Head, Axial plane
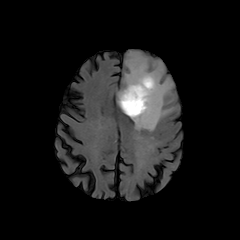
FLAIR MR.
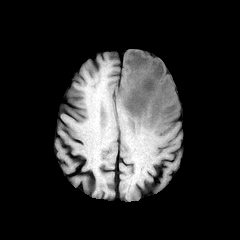
Same slice, T1-weighted magnetic resonance.
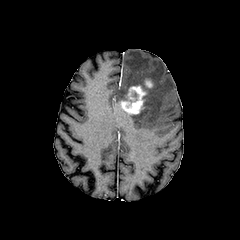
Post-contrast T1-weighted MR.
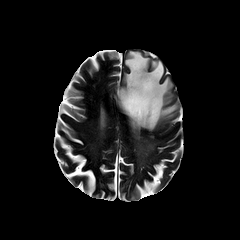
T2-weighted MR image.
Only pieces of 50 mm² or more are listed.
peritumoral edema: region(118, 51, 175, 130)
enhancing tumor: region(145, 79, 153, 88); region(120, 85, 147, 114)